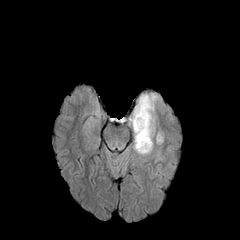
FLAIR MR image.
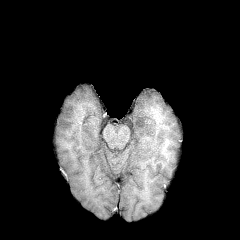
T1-weighted magnetic resonance.
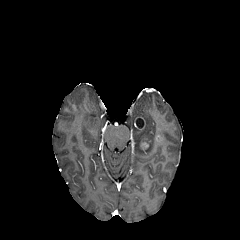
Post-contrast T1-weighted MR image.
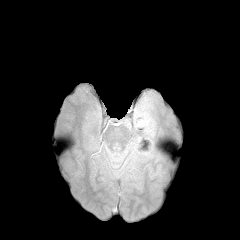
T2-weighted MR image of the same slice.
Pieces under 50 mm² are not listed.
peritumoral edema at <bbox>129, 93, 162, 155</bbox>
necrotic tumor core at <bbox>136, 118, 144, 128</bbox>
enhancing tumor at <bbox>134, 116, 145, 130</bbox>, <bbox>140, 142, 148, 149</bbox>